Axial slice. Head.
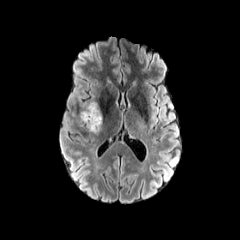
FLAIR MRI.
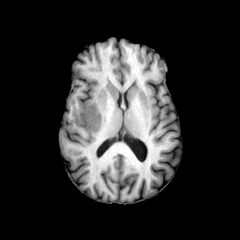
Same slice, T1-weighted MR.
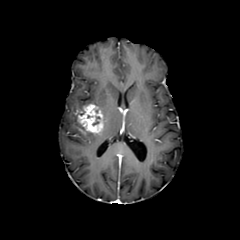
Same slice, post-contrast T1-weighted MR image.
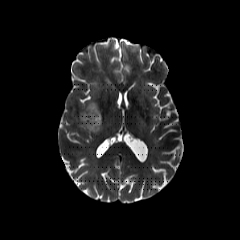
Same slice, T2-weighted magnetic resonance.
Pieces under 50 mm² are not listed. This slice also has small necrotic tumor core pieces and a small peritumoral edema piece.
<segmentation>
  <enhancing_tumor>[75,104,103,133]</enhancing_tumor>
</segmentation>